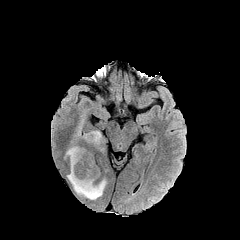
FLAIR magnetic resonance.
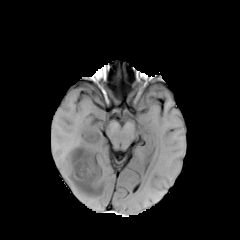
T1-weighted MR image of the same slice.
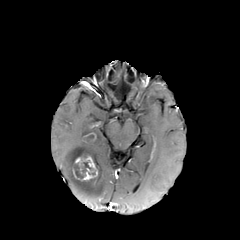
Post-contrast T1-weighted magnetic resonance.
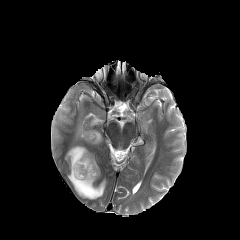
T2-weighted MR of the same slice.
Axial plane | Head
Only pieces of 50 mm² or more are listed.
peritumoral edema — 74,119,84,139; 83,130,104,150; 64,145,106,199
necrotic tumor core — 73,162,92,178; 83,134,94,141
enhancing tumor — 73,155,97,180